Axial view
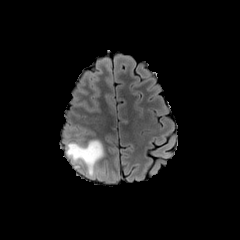
FLAIR magnetic resonance.
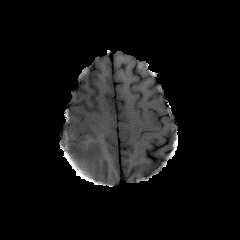
T1-weighted magnetic resonance of the same slice.
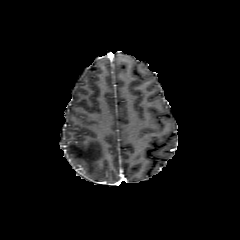
Post-contrast T1-weighted magnetic resonance.
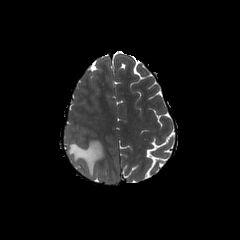
T2-weighted MRI of the same slice.
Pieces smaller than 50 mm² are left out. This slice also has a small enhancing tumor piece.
{
  "peritumoral_edema": [
    "67 140 103 177"
  ]
}